FLAIR MRI.
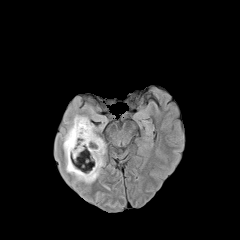
T1-weighted MRI.
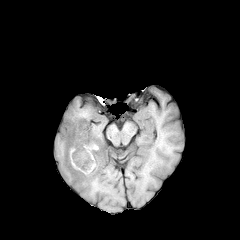
Post-contrast T1-weighted magnetic resonance.
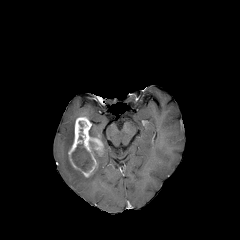
T2-weighted MR.
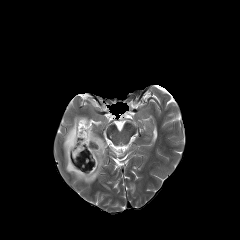
240x240. Head.
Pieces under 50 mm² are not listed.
{
  "peritumoral_edema": [
    "region(63, 115, 106, 183)"
  ],
  "enhancing_tumor": [
    "region(68, 117, 103, 177)"
  ],
  "necrotic_tumor_core": [
    "region(71, 144, 92, 171)",
    "region(90, 142, 97, 158)"
  ]
}